Slice 58/155; Axial plane
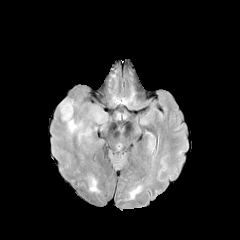
FLAIR MRI.
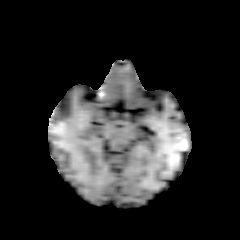
T1-weighted MR of the same slice.
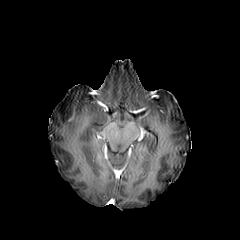
Same slice, post-contrast T1-weighted MR.
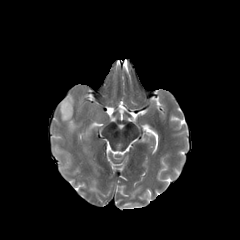
T2-weighted magnetic resonance.
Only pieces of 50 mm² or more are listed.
peritumoral edema = {"x1": 59, "y1": 100, "x2": 81, "y2": 133}